FLAIR MR image.
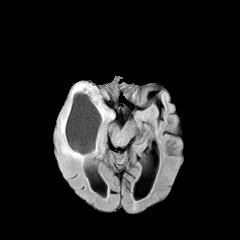
T1-weighted MR.
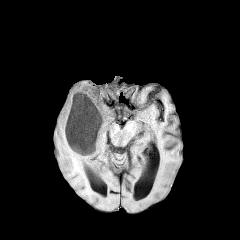
Post-contrast T1-weighted MR image.
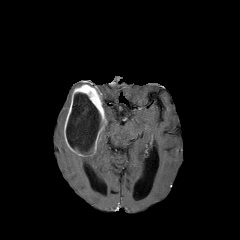
T2-weighted MR image.
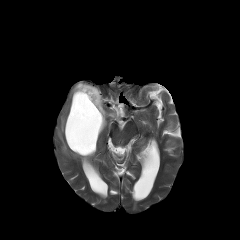
Axial plane | 240x240 px
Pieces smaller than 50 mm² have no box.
The 2 largest peritumoral edema regions are located at bbox=[57, 82, 106, 163]; bbox=[103, 104, 114, 121]. The necrotic tumor core is located at bbox=[66, 93, 100, 154]. The enhancing tumor appears at bbox=[64, 84, 107, 156].